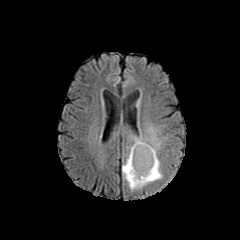
FLAIR MR image.
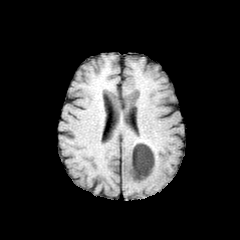
T1-weighted magnetic resonance.
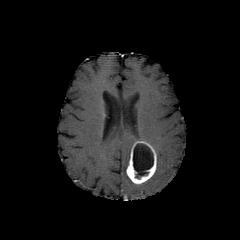
Same slice, post-contrast T1-weighted MR.
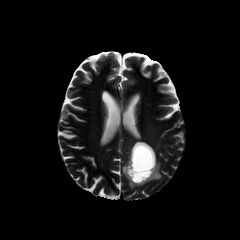
T2-weighted MR image.
240x240 px
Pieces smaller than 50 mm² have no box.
The largest peritumoral edema region is at box(122, 127, 162, 190). The enhancing tumor appears at box(126, 141, 156, 184). The necrotic tumor core appears at box(133, 144, 153, 178).